FLAIR magnetic resonance.
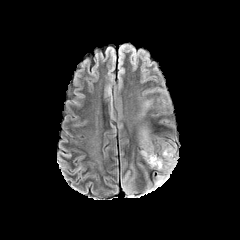
T1-weighted MR.
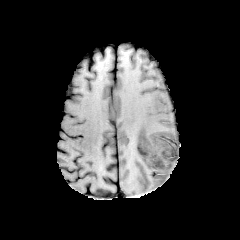
Post-contrast T1-weighted MR.
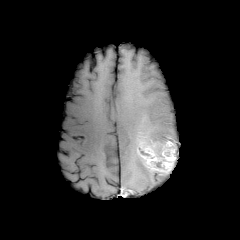
T2-weighted MRI.
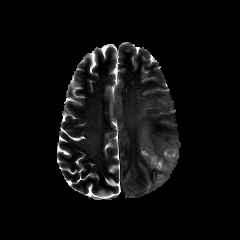
Brain; 240x240 px
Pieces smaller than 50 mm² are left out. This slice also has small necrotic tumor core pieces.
The enhancing tumor lies within (139,140,176,176). The largest peritumoral edema region is at (155,173,169,186).